FLAIR MRI.
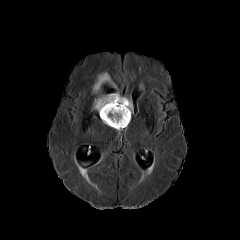
T1-weighted MRI.
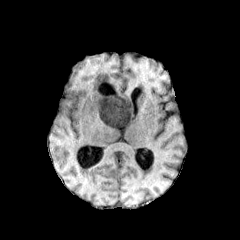
Post-contrast T1-weighted MR image.
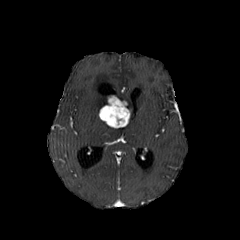
T2-weighted MR image.
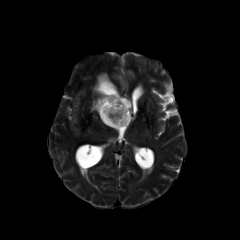
Head.
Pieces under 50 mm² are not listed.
peritumoral edema — box=[92, 72, 116, 93]; box=[92, 95, 108, 112]; box=[109, 92, 133, 113]
enhancing tumor — box=[99, 95, 130, 128]